FLAIR MR image.
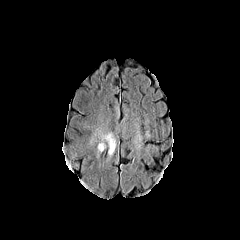
T1-weighted MR.
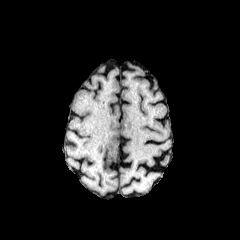
Post-contrast T1-weighted MR image.
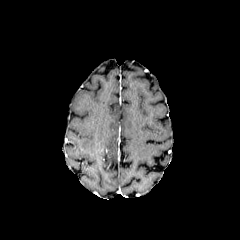
T2-weighted MR.
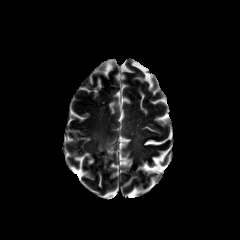
Brain | Axial view
<segmentation>
  <peritumoral_edema>[x1=98, y1=142, x2=104, y2=151], [x1=104, y1=134, x2=115, y2=155]</peritumoral_edema>
</segmentation>